FLAIR MR.
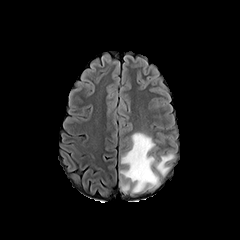
T1-weighted MR.
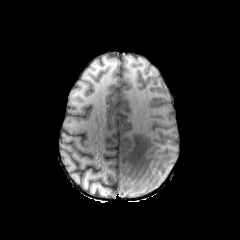
Post-contrast T1-weighted magnetic resonance.
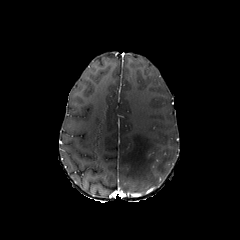
T2-weighted MR.
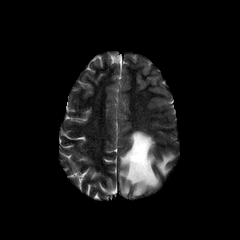
Head
The peritumoral edema appears at (x1=119, y1=131, x2=174, y2=192).